Slice 115/155. Head. 240x240.
FLAIR MRI.
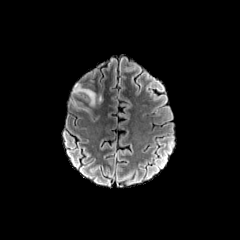
T1-weighted MR image.
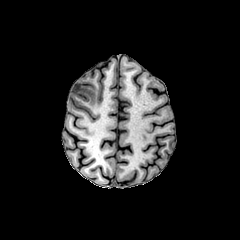
Post-contrast T1-weighted MR image.
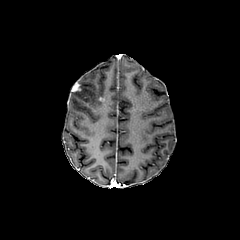
T2-weighted magnetic resonance.
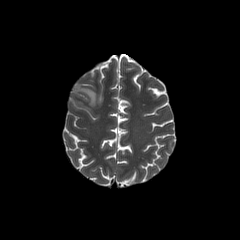
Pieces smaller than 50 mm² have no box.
enhancing tumor: bounding box (x1=72, y1=83, x2=80, y2=91)
peritumoral edema: bounding box (x1=72, y1=86, x2=95, y2=106)